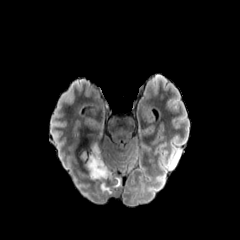
FLAIR MRI.
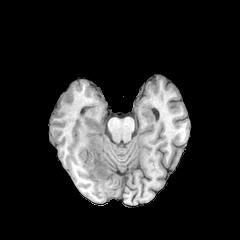
Same slice, T1-weighted MR image.
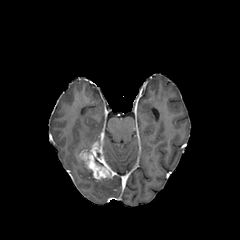
Post-contrast T1-weighted magnetic resonance.
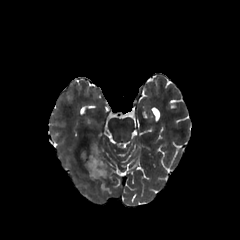
T2-weighted MR.
Axial slice. 240x240 px. Head.
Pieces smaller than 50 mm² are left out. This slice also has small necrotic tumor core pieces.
The largest peritumoral edema region is at <bbox>100, 179, 111, 193</bbox>. The enhancing tumor lies within <bbox>79, 140, 114, 180</bbox>.